Head
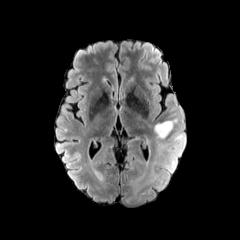
FLAIR MRI.
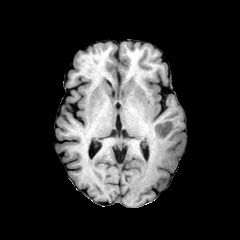
Same slice, T1-weighted MRI.
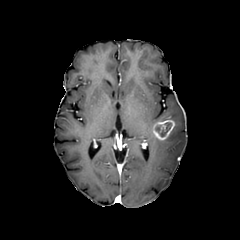
Same slice, post-contrast T1-weighted MR image.
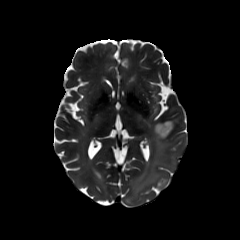
Same slice, T2-weighted MR image.
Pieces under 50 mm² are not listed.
The largest peritumoral edema region is at 154,133,183,166. The largest necrotic tumor core region appears at 159,122,170,136. The enhancing tumor is located at 153,119,175,140.